Image width 240 mm, 1.00 mm slice spacing; Axial slice; Slice 76/155; Brain
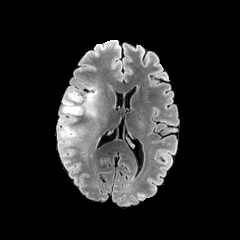
FLAIR MR.
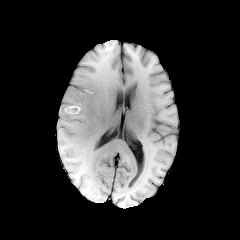
T1-weighted MRI of the same slice.
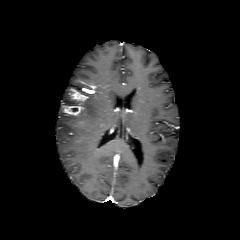
Post-contrast T1-weighted MR.
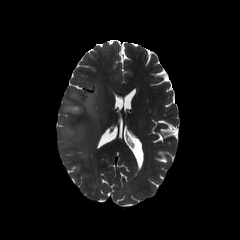
Same slice, T2-weighted magnetic resonance.
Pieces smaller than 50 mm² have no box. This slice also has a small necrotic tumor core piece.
The 2 largest enhancing tumor regions are bounded by 69, 89, 88, 101; 63, 105, 84, 115. 2 peritumoral edema regions appear at 63, 88, 97, 117; 59, 106, 82, 148.